FLAIR MR image.
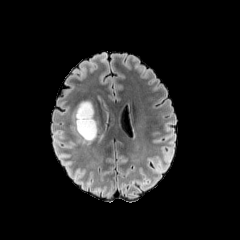
T1-weighted MR.
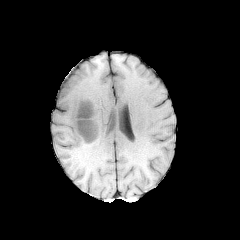
Post-contrast T1-weighted MR.
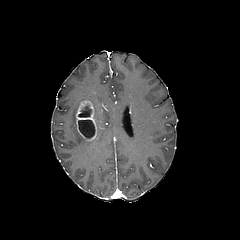
T2-weighted MRI.
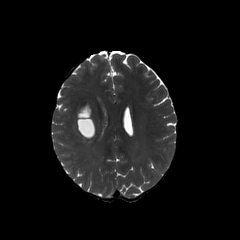
240x240 px; Head
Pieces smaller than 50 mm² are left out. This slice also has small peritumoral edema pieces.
Annotated regions:
• enhancing tumor: x1=76 y1=100 x2=96 y2=140
• necrotic tumor core: x1=78 y1=120 x2=94 y2=138, x1=79 y1=106 x2=90 y2=117